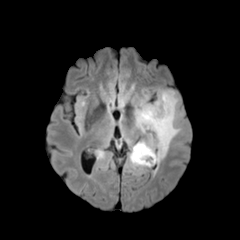
FLAIR MR image.
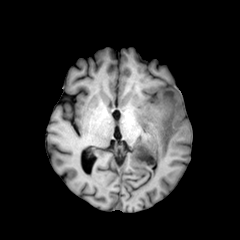
Same slice, T1-weighted MR.
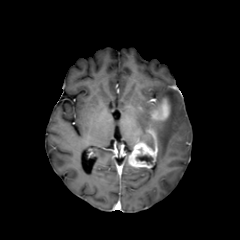
Post-contrast T1-weighted MR.
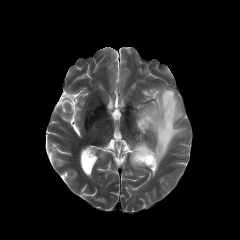
T2-weighted MR.
Brain. Axial view.
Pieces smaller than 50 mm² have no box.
- peritumoral edema: bbox(135, 90, 182, 164)
- necrotic tumor core: bbox(136, 155, 153, 164)
- enhancing tumor: bbox(151, 98, 169, 120); bbox(129, 142, 157, 168)